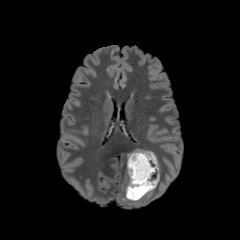
FLAIR magnetic resonance.
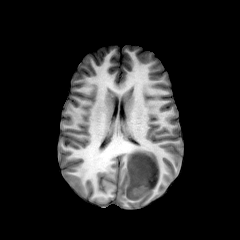
T1-weighted magnetic resonance.
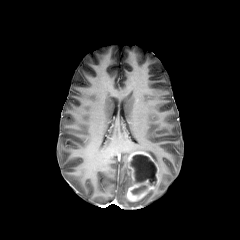
Post-contrast T1-weighted MRI of the same slice.
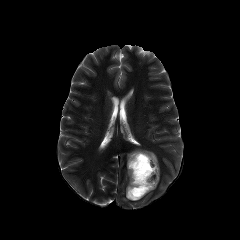
Same slice, T2-weighted magnetic resonance.
Axial slice; Brain
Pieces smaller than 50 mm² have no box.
peritumoral edema: left=123, top=175, right=130, bottom=200; left=135, top=149, right=158, bottom=165 | enhancing tumor: left=127, top=151, right=159, bottom=200 | necrotic tumor core: left=131, top=185, right=147, bottom=194; left=130, top=154, right=156, bottom=185